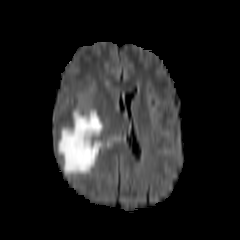
FLAIR MRI.
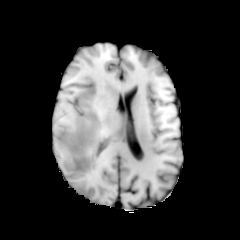
Same slice, T1-weighted MR.
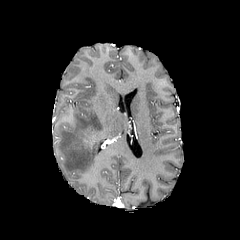
Post-contrast T1-weighted MR.
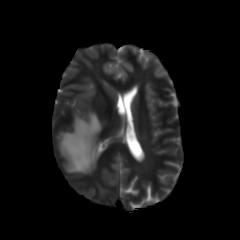
Same slice, T2-weighted MRI.
Head | Axial slice
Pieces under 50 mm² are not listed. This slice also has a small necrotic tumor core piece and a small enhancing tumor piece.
The peritumoral edema lies within [x1=58, y1=109, x2=103, y2=174].